FLAIR MRI.
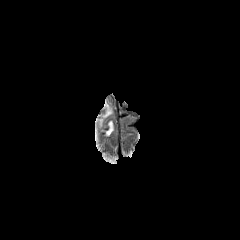
T1-weighted MR.
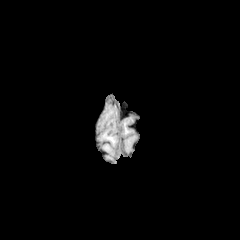
Post-contrast T1-weighted MRI.
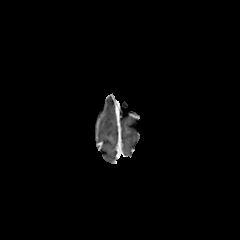
T2-weighted MR image.
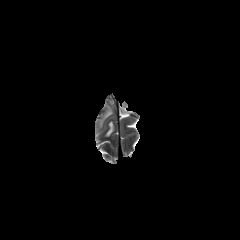
Brain.
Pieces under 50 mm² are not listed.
<segmentation>
  <peritumoral_edema>x1=106, y1=121, x2=113, y2=135; x1=103, y1=105, x2=111, y2=117</peritumoral_edema>
</segmentation>